FLAIR MRI.
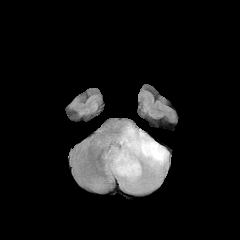
T1-weighted magnetic resonance.
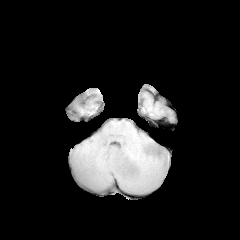
Post-contrast T1-weighted MRI.
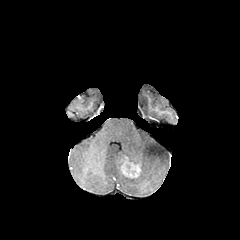
T2-weighted magnetic resonance.
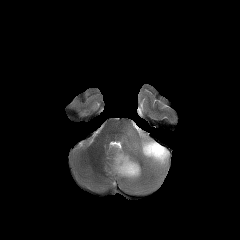
Brain
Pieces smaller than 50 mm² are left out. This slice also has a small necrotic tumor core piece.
peritumoral edema: <bbox>105, 124, 169, 193</bbox> | enhancing tumor: <bbox>119, 156, 140, 177</bbox>